FLAIR magnetic resonance.
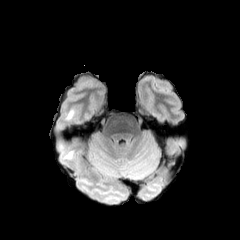
T1-weighted MRI.
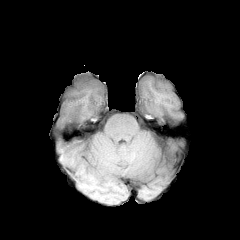
Post-contrast T1-weighted MR.
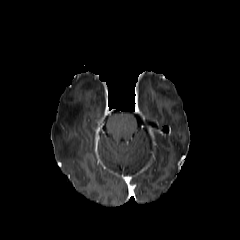
T2-weighted MRI.
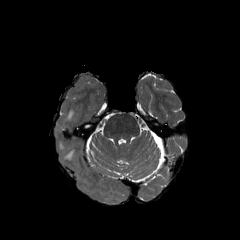
Brain
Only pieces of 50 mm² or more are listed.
{
  "peritumoral_edema": [
    "<box>64,108,75,121</box>",
    "<box>63,150,74,159</box>"
  ]
}